Axial view
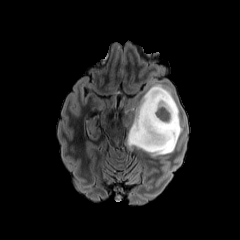
FLAIR MR.
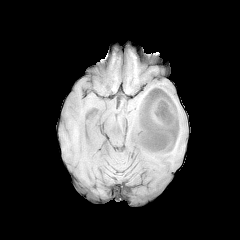
T1-weighted MR.
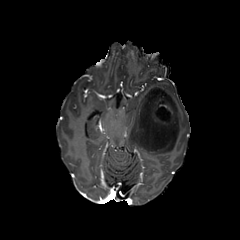
Post-contrast T1-weighted magnetic resonance.
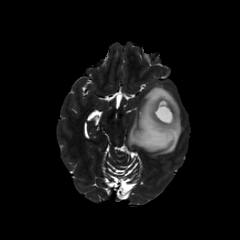
T2-weighted magnetic resonance.
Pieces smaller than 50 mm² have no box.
Findings:
- peritumoral edema: x1=127, y1=84, x2=182, y2=156
- enhancing tumor: x1=151, y1=96, x2=173, y2=125
- necrotic tumor core: x1=155, y1=107, x2=170, y2=121